Slice index 92, Axial plane
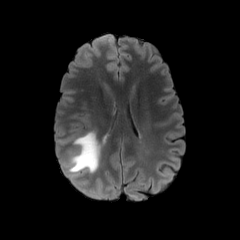
FLAIR magnetic resonance.
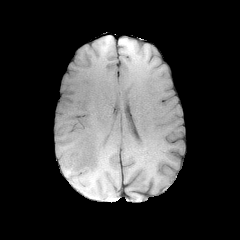
T1-weighted MR image.
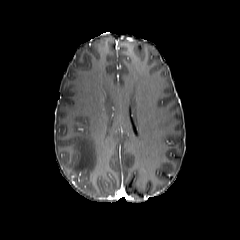
Post-contrast T1-weighted magnetic resonance.
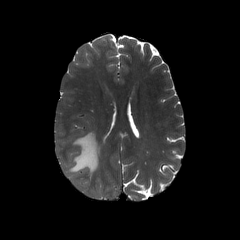
Same slice, T2-weighted MR.
peritumoral edema: left=67, top=131, right=100, bottom=174